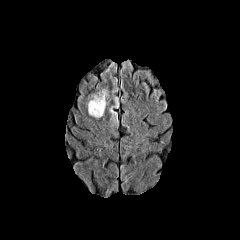
FLAIR magnetic resonance.
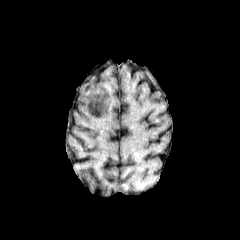
T1-weighted MR of the same slice.
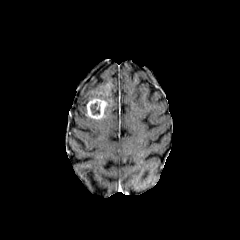
Post-contrast T1-weighted magnetic resonance.
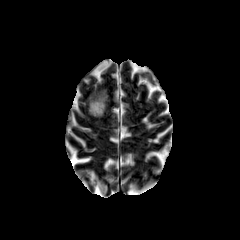
Same slice, T2-weighted magnetic resonance.
Axial slice. 240x240. Head.
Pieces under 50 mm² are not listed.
enhancing_tumor:
  - bbox(87, 97, 107, 119)
peritumoral_edema:
  - bbox(91, 92, 107, 100)
  - bbox(109, 96, 118, 123)
necrotic_tumor_core:
  - bbox(90, 103, 99, 114)